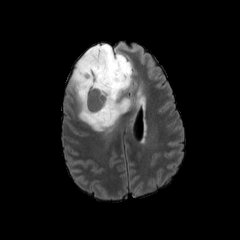
FLAIR magnetic resonance.
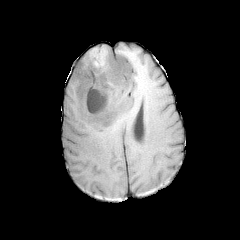
T1-weighted magnetic resonance.
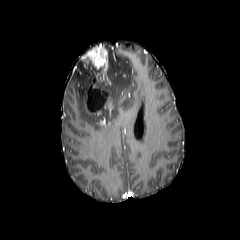
Post-contrast T1-weighted MRI of the same slice.
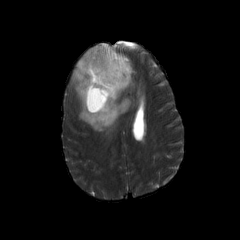
T2-weighted MR image of the same slice.
Head
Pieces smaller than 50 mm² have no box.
Segmented structures:
- necrotic tumor core: bbox(87, 86, 107, 111)
- peritumoral edema: bbox(68, 43, 132, 132)
- enhancing tumor: bbox(101, 86, 112, 118); bbox(85, 102, 101, 116); bbox(82, 45, 110, 88); bbox(99, 117, 110, 126)